FLAIR magnetic resonance.
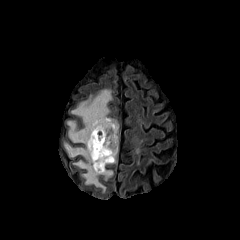
T1-weighted MR image.
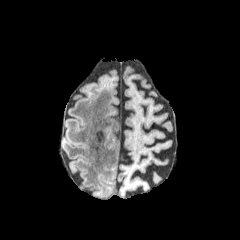
Post-contrast T1-weighted MR image.
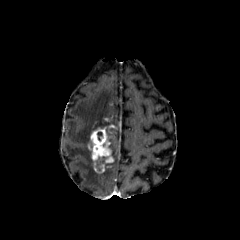
T2-weighted magnetic resonance.
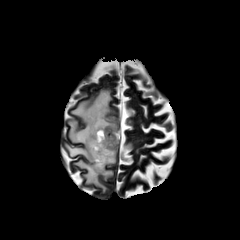
Axial plane.
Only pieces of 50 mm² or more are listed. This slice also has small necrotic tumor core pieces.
Findings:
- peritumoral edema: l=105, t=136, r=118, b=166; l=64, t=89, r=113, b=192
- enhancing tumor: l=87, t=124, r=119, b=173